240x240, Head, Axial plane, Image covers 240 mm x 240 mm
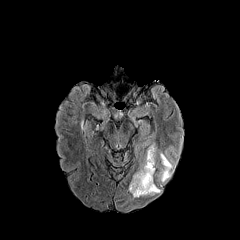
FLAIR MR.
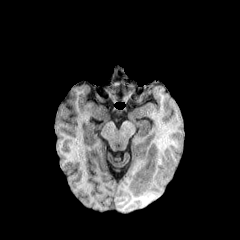
Same slice, T1-weighted MR image.
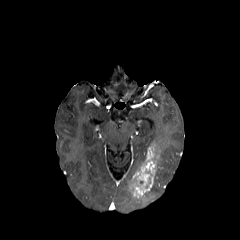
Same slice, post-contrast T1-weighted magnetic resonance.
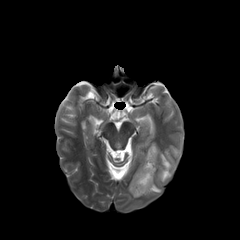
T2-weighted MR.
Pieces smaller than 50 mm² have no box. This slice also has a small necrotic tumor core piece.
<segmentation>
  <enhancing_tumor>{"x1": 129, "y1": 143, "x2": 160, "y2": 197}</enhancing_tumor>
  <peritumoral_edema>{"x1": 159, "y1": 152, "x2": 172, "y2": 182}, {"x1": 145, "y1": 184, "x2": 161, "y2": 194}</peritumoral_edema>
</segmentation>